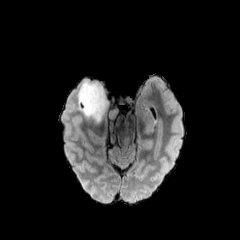
FLAIR MRI.
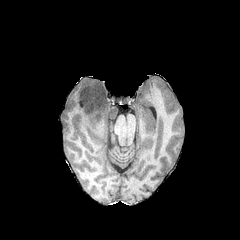
T1-weighted MR.
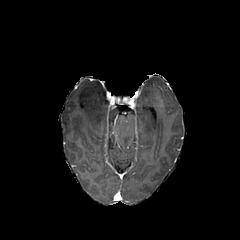
Post-contrast T1-weighted MR image of the same slice.
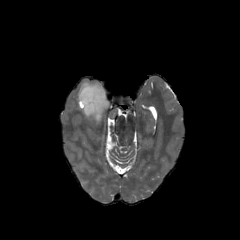
T2-weighted MR.
Axial view
{"peritumoral_edema": ["box(77, 77, 118, 132)"]}